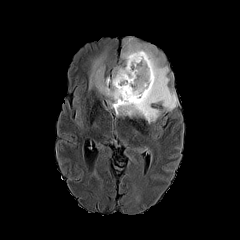
FLAIR magnetic resonance.
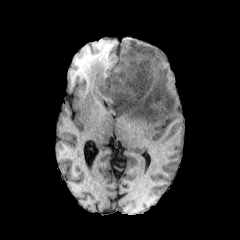
Same slice, T1-weighted MR image.
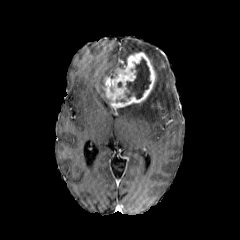
Post-contrast T1-weighted MR image.
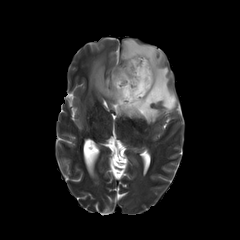
T2-weighted MR image.
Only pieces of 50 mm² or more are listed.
necrotic tumor core: x1=125 y1=58 x2=150 y2=99 | peritumoral edema: x1=87 y1=48 x2=107 y2=94, x1=116 y1=38 x2=177 y2=123 | enhancing tumor: x1=102 y1=52 x2=156 y2=111